240x240; Slice index 107; Image width 240 mm
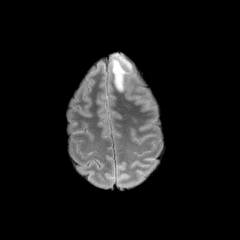
FLAIR magnetic resonance.
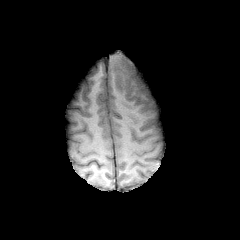
T1-weighted MR.
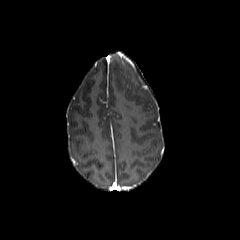
Post-contrast T1-weighted MR.
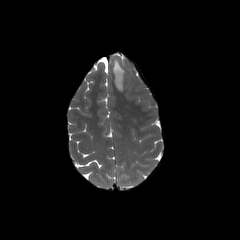
Same slice, T2-weighted MRI.
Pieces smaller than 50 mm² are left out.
The largest peritumoral edema region is at box(113, 60, 125, 90).